Axial slice. 240x240. Head.
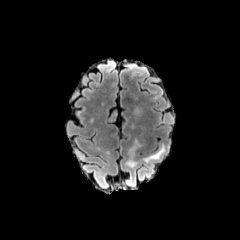
FLAIR MRI.
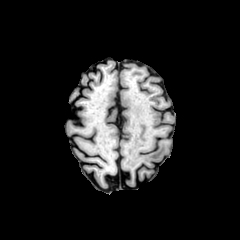
T1-weighted magnetic resonance.
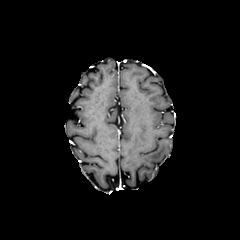
Post-contrast T1-weighted MR.
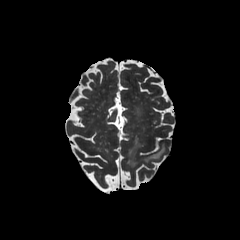
T2-weighted MR of the same slice.
Findings:
* peritumoral edema: <box>125,146,140,167</box>, <box>143,145,165,162</box>